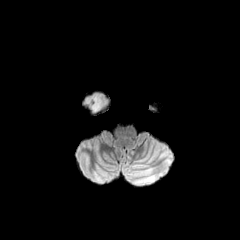
FLAIR MRI.
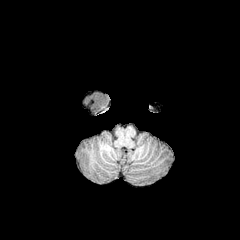
T1-weighted MRI of the same slice.
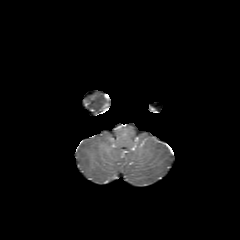
Post-contrast T1-weighted MR.
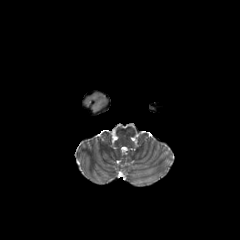
T2-weighted magnetic resonance.
240x240 px. Brain.
Findings:
- peritumoral edema: 90, 97, 106, 111